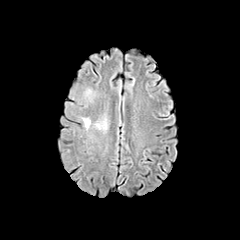
FLAIR MR image.
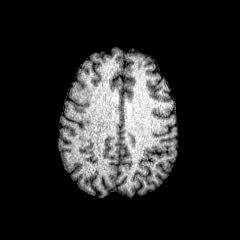
T1-weighted MR image of the same slice.
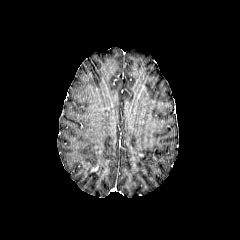
Post-contrast T1-weighted MR of the same slice.
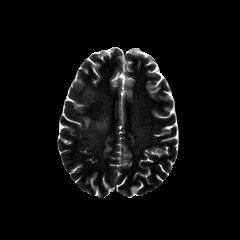
T2-weighted MRI.
Axial view
Segmented structures:
* peritumoral edema: (x1=84, y1=89, x2=95, y2=100), (x1=81, y1=117, x2=90, y2=129), (x1=94, y1=117, x2=107, y2=130)